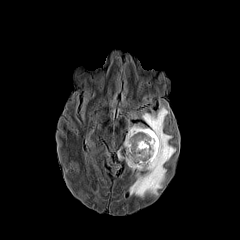
FLAIR magnetic resonance.
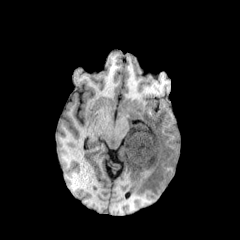
T1-weighted magnetic resonance.
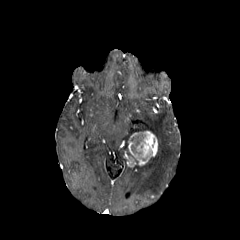
Post-contrast T1-weighted magnetic resonance.
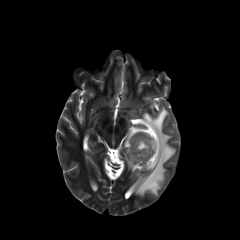
T2-weighted MRI.
Axial slice. Brain.
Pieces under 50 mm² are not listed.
enhancing tumor: 125 130 158 167
peritumoral edema: 124 106 175 197